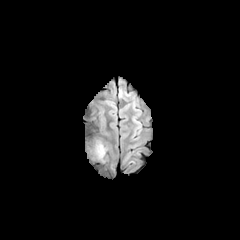
FLAIR magnetic resonance.
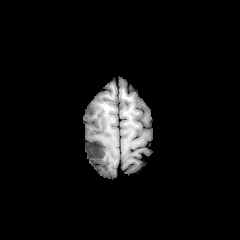
T1-weighted MR.
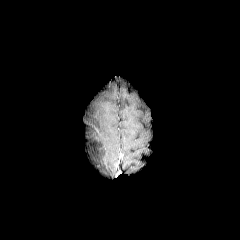
Post-contrast T1-weighted MRI of the same slice.
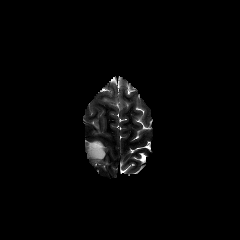
Same slice, T2-weighted MR image.
Brain
peritumoral edema: (88, 141, 106, 160)